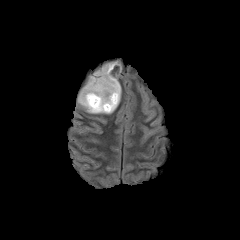
FLAIR MR image.
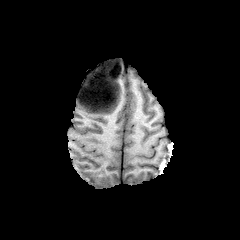
Same slice, T1-weighted MRI.
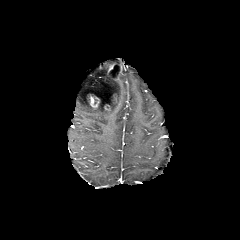
Same slice, post-contrast T1-weighted MRI.
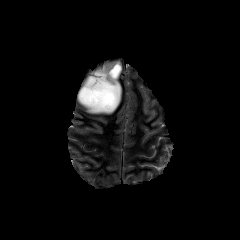
T2-weighted magnetic resonance.
Axial slice
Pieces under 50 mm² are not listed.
* peritumoral edema: (77,61,121,114)
* necrotic tumor core: (86,75,117,110), (109,65,119,78)
* enhancing tumor: (89,95,99,109)